Axial slice, Brain, Image covers 240 mm x 240 mm, Slice 108 of 155
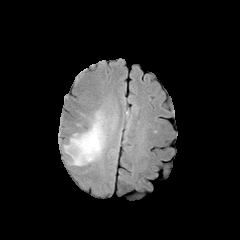
FLAIR MR image.
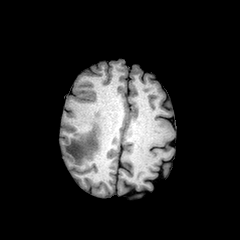
T1-weighted magnetic resonance of the same slice.
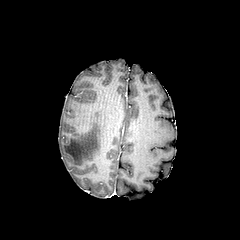
Post-contrast T1-weighted MRI.
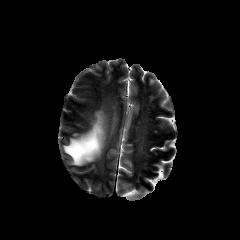
T2-weighted MR image of the same slice.
The peritumoral edema is located at 63:111:105:165.